FLAIR MR image.
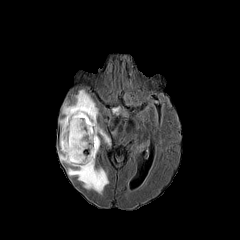
T1-weighted MR.
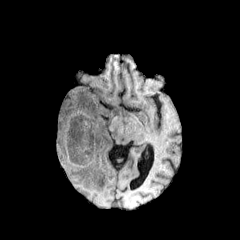
Post-contrast T1-weighted magnetic resonance.
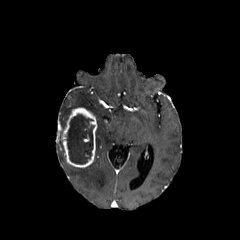
T2-weighted MRI.
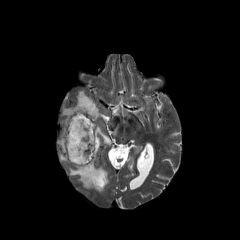
Axial view, 240x240 px
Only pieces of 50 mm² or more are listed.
peritumoral_edema:
  - (left=95, top=125, right=110, bottom=158)
  - (left=68, top=160, right=108, bottom=193)
  - (left=60, top=90, right=99, bottom=136)
  - (left=59, top=140, right=67, bottom=163)
necrotic_tumor_core:
  - (left=67, top=114, right=94, bottom=164)
enhancing_tumor:
  - (left=61, top=107, right=97, bottom=167)